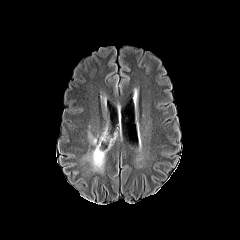
FLAIR magnetic resonance.
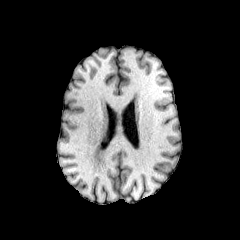
T1-weighted MRI.
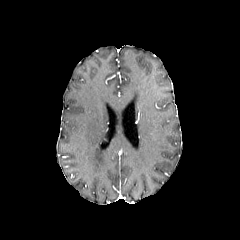
Same slice, post-contrast T1-weighted magnetic resonance.
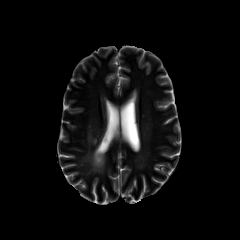
T2-weighted MR.
Head
The peritumoral edema is at <box>87,132,105,171</box>.